Axial view. Image width 240 mm.
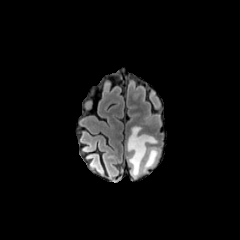
FLAIR MR image.
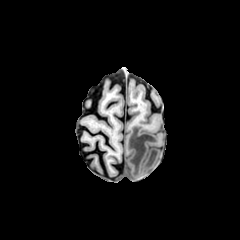
Same slice, T1-weighted MR image.
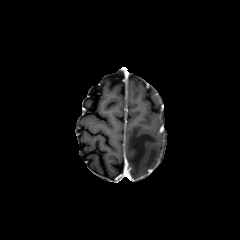
Post-contrast T1-weighted MRI.
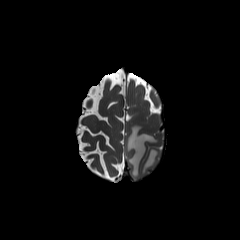
T2-weighted MRI.
peritumoral edema — 127,126,159,178